Brain; Image width 240 mm
FLAIR MRI.
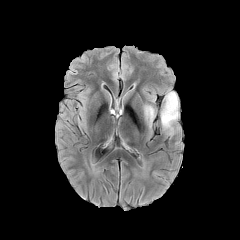
T1-weighted MR image.
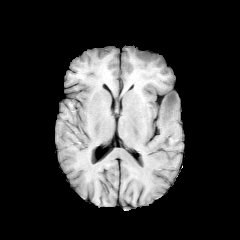
Post-contrast T1-weighted MR image.
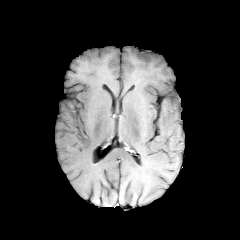
T2-weighted MR.
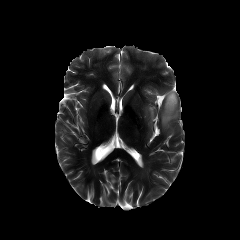
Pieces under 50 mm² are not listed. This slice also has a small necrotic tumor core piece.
<segmentation>
  <peritumoral_edema>l=144, t=105, r=155, b=127; l=161, t=90, r=179, b=134</peritumoral_edema>
</segmentation>